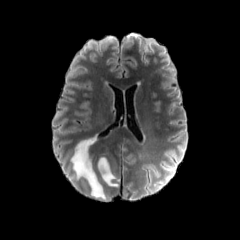
FLAIR MRI.
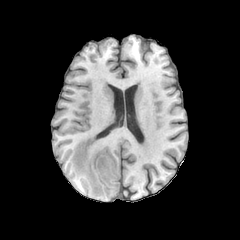
T1-weighted magnetic resonance of the same slice.
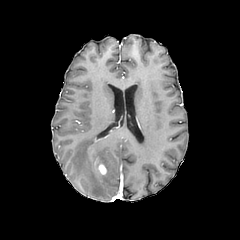
Same slice, post-contrast T1-weighted MRI.
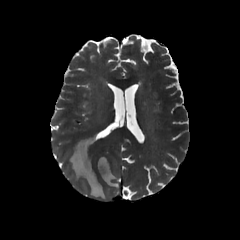
T2-weighted magnetic resonance.
Brain; Axial slice
• enhancing tumor: (x1=97, y1=162, x2=106, y2=174)
• peritumoral edema: (x1=70, y1=138, x2=106, y2=199), (x1=97, y1=157, x2=117, y2=186)